FLAIR magnetic resonance.
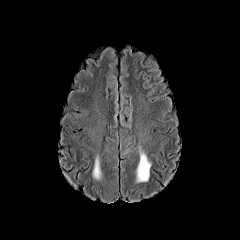
T1-weighted MR.
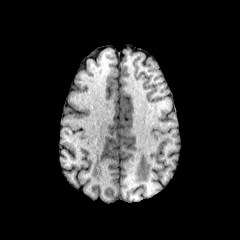
Post-contrast T1-weighted MR.
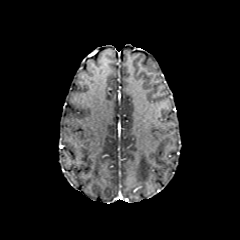
T2-weighted MR.
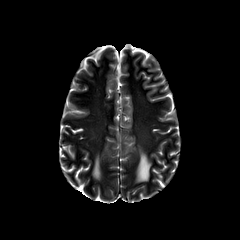
Head
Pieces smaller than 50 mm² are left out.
Annotated regions:
• peritumoral edema: 136, 146, 151, 182; 92, 155, 101, 180